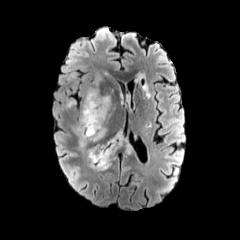
FLAIR MRI.
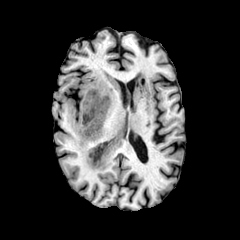
T1-weighted MR image.
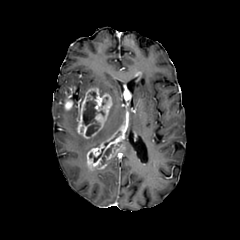
Post-contrast T1-weighted MR image.
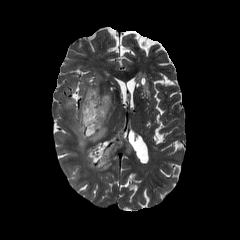
T2-weighted MR.
Axial slice.
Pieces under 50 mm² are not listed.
The 2 largest necrotic tumor core regions appear at 83, 100, 99, 136; 89, 144, 113, 164. The 3 largest enhancing tumor regions are located at 86, 123, 125, 169; 77, 87, 112, 138; 64, 87, 74, 110. The 3 largest peritumoral edema regions are bounded by 114, 138, 124, 155; 79, 127, 106, 148; 136, 74, 150, 97.